FLAIR MR.
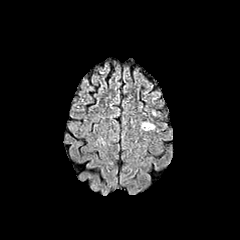
T1-weighted MRI.
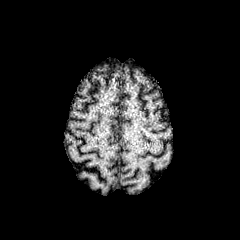
Post-contrast T1-weighted MRI.
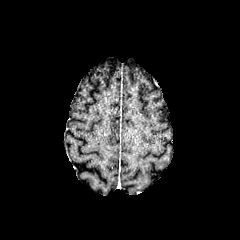
T2-weighted magnetic resonance.
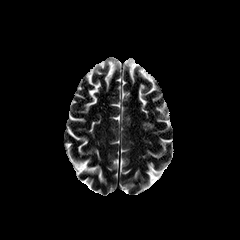
240x240 px. Head.
peritumoral_edema:
  - box(142, 122, 154, 130)